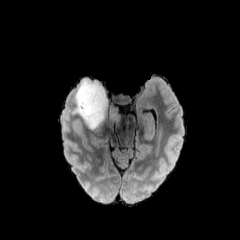
FLAIR MR image.
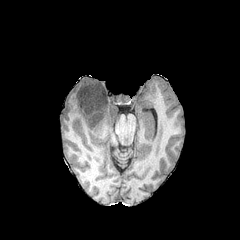
T1-weighted MR image of the same slice.
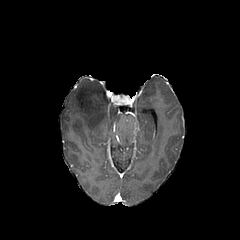
Post-contrast T1-weighted magnetic resonance.
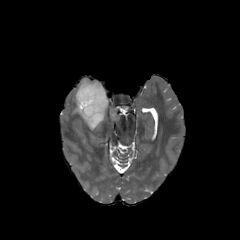
T2-weighted MR image of the same slice.
Head, Image size 240x240, Axial plane
The peritumoral edema is bounded by 72,76,123,132.